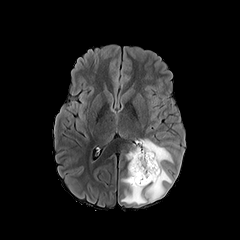
FLAIR MR image.
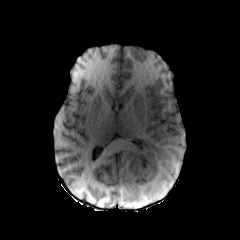
Same slice, T1-weighted magnetic resonance.
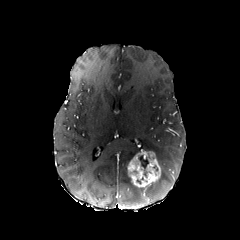
Same slice, post-contrast T1-weighted MRI.
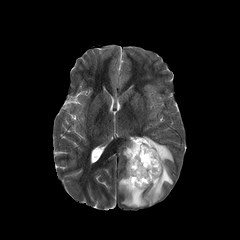
T2-weighted MR.
240x240 px; Brain
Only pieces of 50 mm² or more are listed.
peritumoral_edema:
  - [126, 138, 173, 201]
  - [120, 176, 146, 204]
necrotic_tumor_core:
  - [139, 155, 149, 168]
enhancing_tumor:
  - [127, 150, 160, 187]